Axial plane
FLAIR MR.
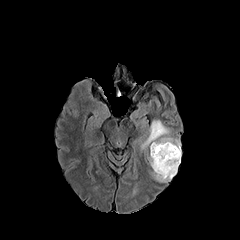
T1-weighted MR image.
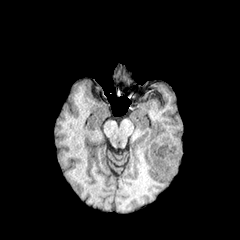
Post-contrast T1-weighted MR.
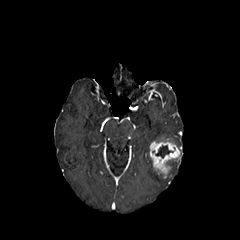
T2-weighted MR.
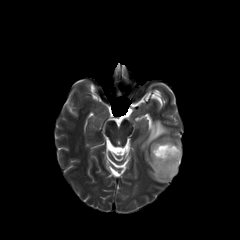
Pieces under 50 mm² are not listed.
enhancing tumor at {"x1": 149, "y1": 137, "x2": 181, "y2": 178}
necrotic tumor core at {"x1": 155, "y1": 145, "x2": 173, "y2": 157}
peritumoral edema at {"x1": 141, "y1": 120, "x2": 180, "y2": 149}, {"x1": 152, "y1": 160, "x2": 180, "y2": 182}